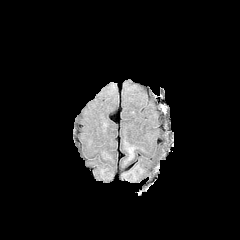
FLAIR MR.
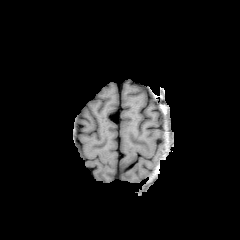
Same slice, T1-weighted MR.
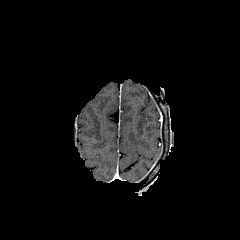
Post-contrast T1-weighted magnetic resonance.
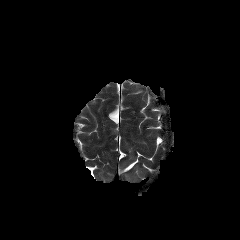
T2-weighted MR of the same slice.
Brain
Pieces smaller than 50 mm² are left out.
peritumoral edema — (125,142,135,160)